Slice index 89 | Brain
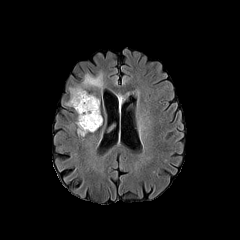
FLAIR MR image.
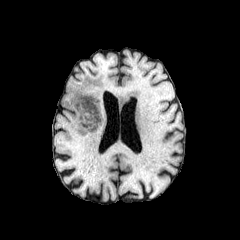
T1-weighted MR image.
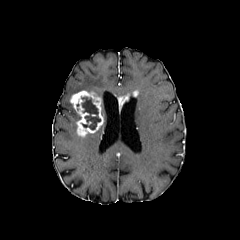
Post-contrast T1-weighted MR image.
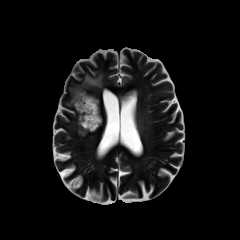
Same slice, T2-weighted MRI.
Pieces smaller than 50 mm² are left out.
peritumoral edema — [69, 73, 103, 95]
enhancing tumor — [70, 90, 103, 136], [118, 94, 128, 112]
necrotic tumor core — [81, 97, 100, 129]